FLAIR MR image.
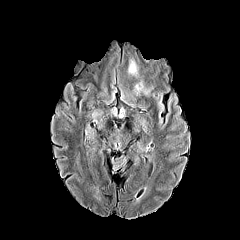
T1-weighted MRI.
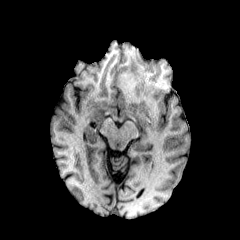
Post-contrast T1-weighted MR image.
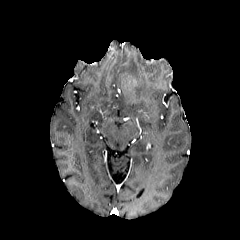
T2-weighted MR image.
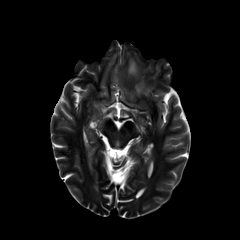
- peritumoral edema: (left=128, top=60, right=137, bottom=75), (left=135, top=82, right=150, bottom=94)